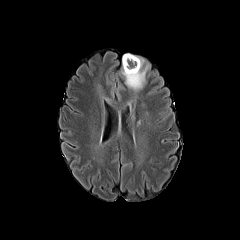
FLAIR MR.
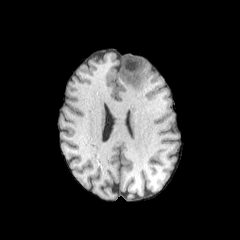
T1-weighted MR image.
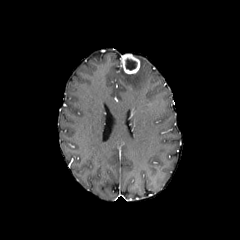
Post-contrast T1-weighted MR.
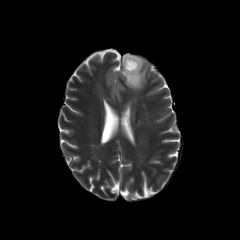
T2-weighted MRI.
Axial plane | Brain
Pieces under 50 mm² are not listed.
* necrotic tumor core: (left=125, top=58, right=137, bottom=70)
* peritumoral edema: (left=121, top=57, right=149, bottom=91)
* enhancing tumor: (left=122, top=54, right=139, bottom=73)